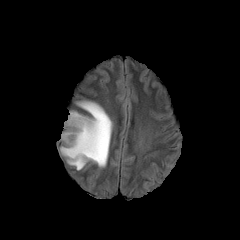
FLAIR magnetic resonance.
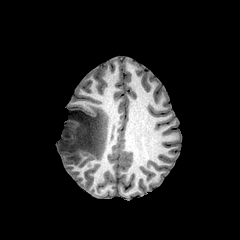
T1-weighted MR image.
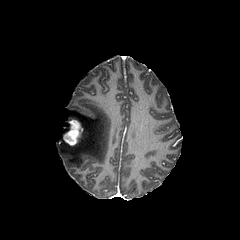
Post-contrast T1-weighted MRI.
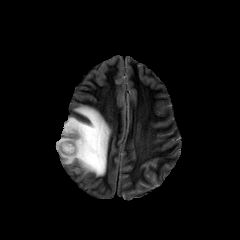
T2-weighted MRI.
Axial plane.
enhancing tumor: (63,120,82,145) | peritumoral edema: (59,101,112,170)